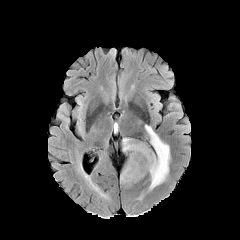
FLAIR magnetic resonance.
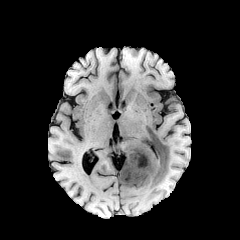
T1-weighted magnetic resonance of the same slice.
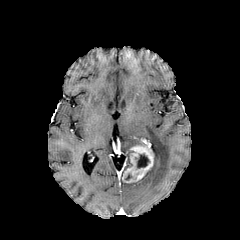
Post-contrast T1-weighted MRI.
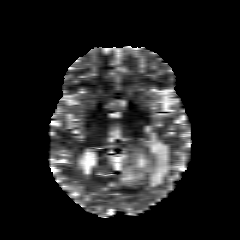
T2-weighted MRI.
Brain
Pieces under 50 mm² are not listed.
Findings:
- enhancing tumor: x1=122 y1=140 x2=153 y2=183
- peritumoral edema: x1=123 y1=138 x2=135 y2=151, x1=124 y1=151 x2=133 y2=170, x1=145 y1=125 x2=169 y2=190
- necrotic tumor core: x1=137 y1=154 x2=149 y2=168